FLAIR MR.
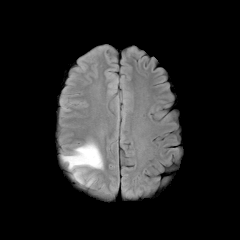
T1-weighted MR.
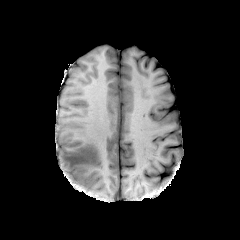
Post-contrast T1-weighted MR image.
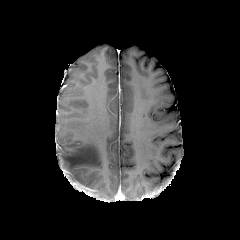
T2-weighted magnetic resonance.
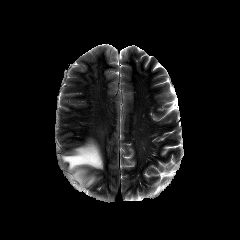
Axial slice, Brain
peritumoral edema: 61,140,103,186